FLAIR MR image.
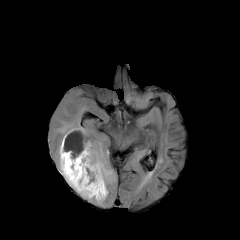
T1-weighted MRI.
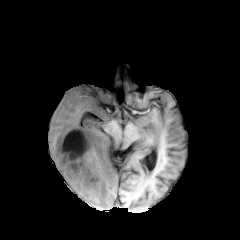
Post-contrast T1-weighted magnetic resonance.
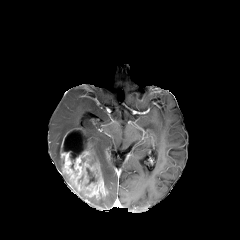
T2-weighted magnetic resonance.
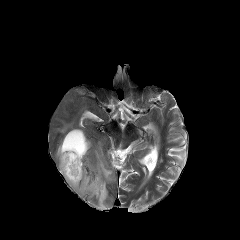
Head
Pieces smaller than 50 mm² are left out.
peritumoral edema at 55,118,115,189; 87,193,108,206
necrotic tumor core at 62,130,88,160; 86,168,96,185
enhancing tumor at 60,128,108,199